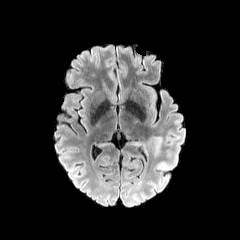
FLAIR MR image.
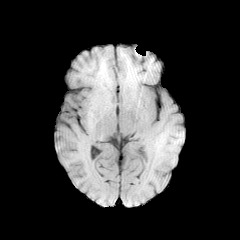
T1-weighted magnetic resonance.
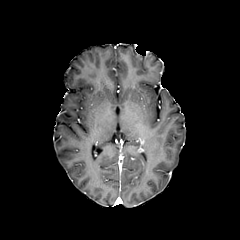
Same slice, post-contrast T1-weighted MRI.
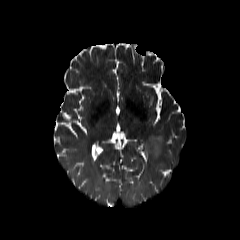
Same slice, T2-weighted MRI.
Head
peritumoral edema: <bbox>146, 136, 162, 156</bbox>